FLAIR MRI.
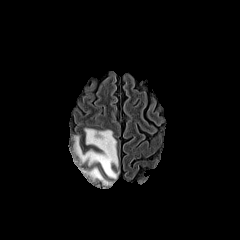
T1-weighted MR.
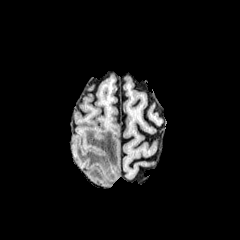
Post-contrast T1-weighted MR.
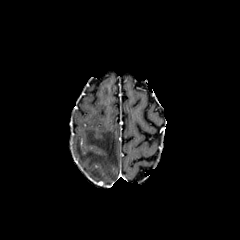
T2-weighted magnetic resonance.
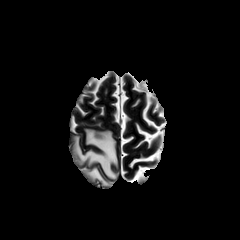
Axial plane. 240x240 px.
peritumoral_edema:
  - box(74, 128, 118, 178)
  - box(86, 168, 110, 184)